FLAIR MR.
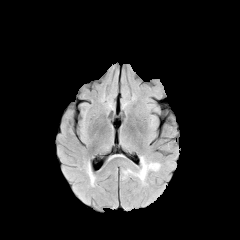
T1-weighted MR image.
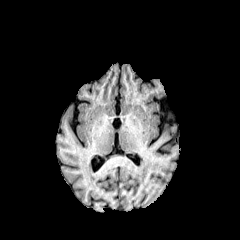
Post-contrast T1-weighted magnetic resonance.
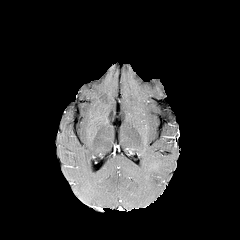
T2-weighted MR image.
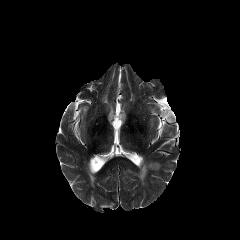
Axial plane. Brain.
Findings:
• peritumoral edema: bbox(123, 156, 160, 184)